Axial slice | Head | Image width 240 mm, 1.00 mm slice spacing | Slice 115 of 155
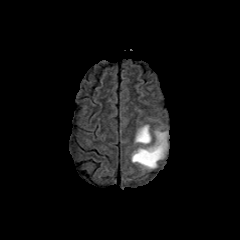
FLAIR MR image.
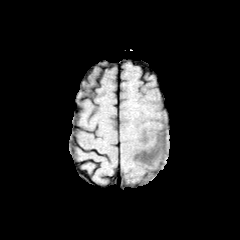
T1-weighted magnetic resonance.
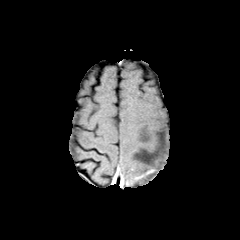
Same slice, post-contrast T1-weighted MR image.
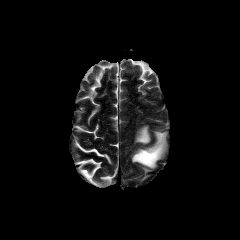
Same slice, T2-weighted MR.
peritumoral edema at x1=135 y1=125 x2=151 y2=145, x1=131 y1=130 x2=167 y2=169